FLAIR MR image.
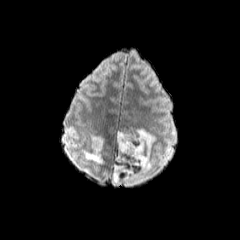
T1-weighted magnetic resonance.
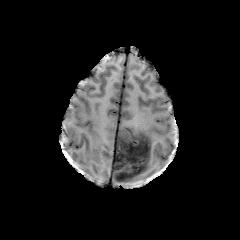
Post-contrast T1-weighted magnetic resonance.
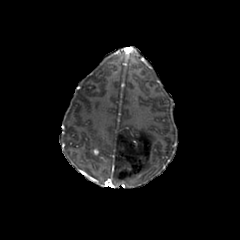
T2-weighted MR.
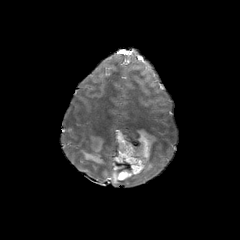
Axial view, Head
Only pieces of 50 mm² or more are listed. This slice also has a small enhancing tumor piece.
peritumoral edema = [112, 128, 155, 183], [82, 135, 103, 163]